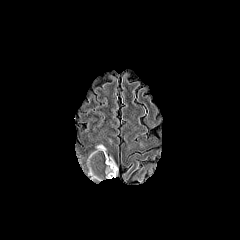
FLAIR MR image.
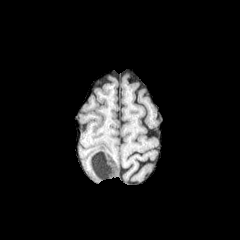
Same slice, T1-weighted MRI.
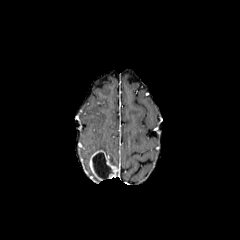
Post-contrast T1-weighted MRI of the same slice.
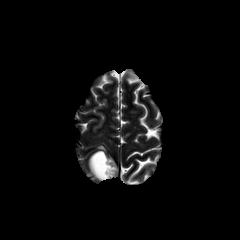
T2-weighted MR of the same slice.
Axial view, Brain, Image size 240x240
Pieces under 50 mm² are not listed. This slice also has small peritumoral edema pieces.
The largest necrotic tumor core region is at <bbox>92, 153, 112, 179</bbox>. The enhancing tumor is bounded by <bbox>88, 150, 117, 181</bbox>.